Image width 240 mm. Slice 85 of 155.
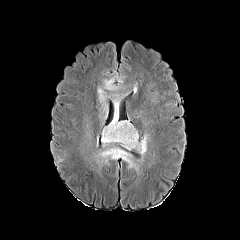
FLAIR magnetic resonance.
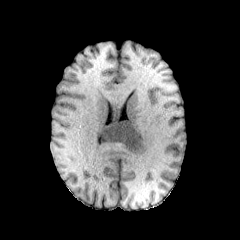
T1-weighted MR.
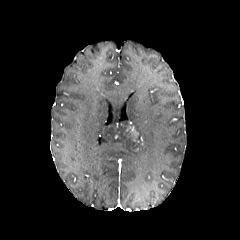
Post-contrast T1-weighted MR of the same slice.
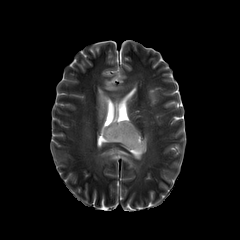
T2-weighted MRI.
2 enhancing tumor regions are located at l=112, t=133, r=122, b=141; l=126, t=126, r=137, b=141. 2 peritumoral edema regions appear at l=98, t=79, r=148, b=155; l=99, t=147, r=135, b=167.